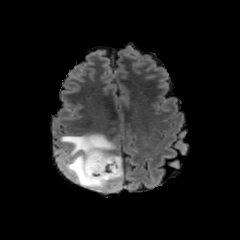
FLAIR MR.
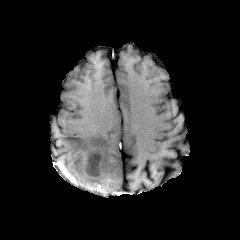
T1-weighted magnetic resonance of the same slice.
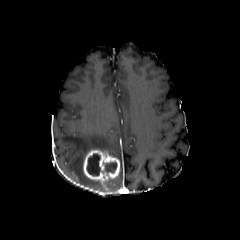
Post-contrast T1-weighted MR.
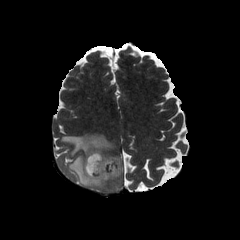
Same slice, T2-weighted magnetic resonance.
Axial slice; Head
Findings:
* peritumoral edema: bbox=[60, 133, 123, 191]
* necrotic tumor core: bbox=[105, 162, 116, 172]; bbox=[87, 154, 100, 175]
* enhancing tumor: bbox=[83, 149, 120, 190]